FLAIR MR.
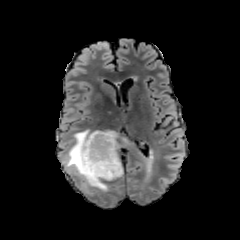
T1-weighted MR image.
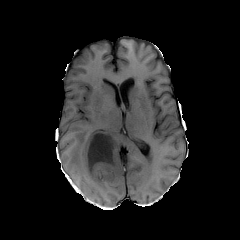
Post-contrast T1-weighted MR.
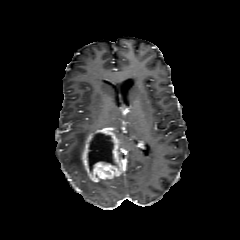
T2-weighted MRI.
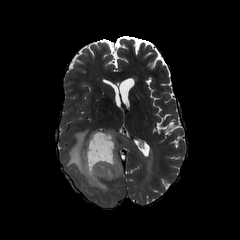
240x240 | Axial plane
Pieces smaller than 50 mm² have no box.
The enhancing tumor is located at box(82, 126, 124, 182). The largest peritumoral edema region is bounded by box(63, 129, 123, 191). The necrotic tumor core is bounded by box(88, 133, 116, 171).